FLAIR MRI.
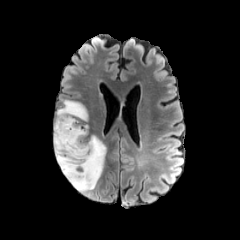
T1-weighted MR image.
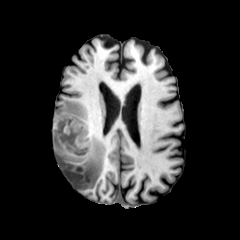
Post-contrast T1-weighted MR image.
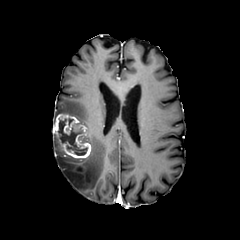
T2-weighted MR image.
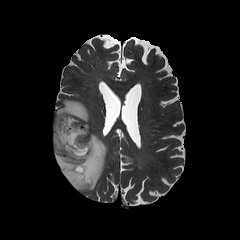
Image size 240x240; Brain; Axial plane
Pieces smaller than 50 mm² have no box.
necrotic tumor core: l=57, t=118, r=87, b=155 | peritumoral edema: l=53, t=99, r=106, b=192 | enhancing tumor: l=53, t=113, r=91, b=159